Brain, Slice index 74, Axial plane
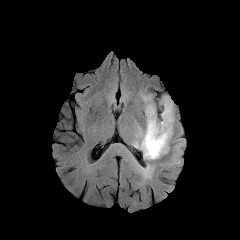
FLAIR MR image.
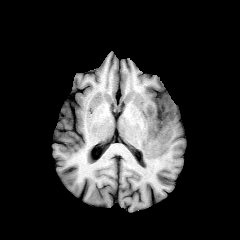
Same slice, T1-weighted MR image.
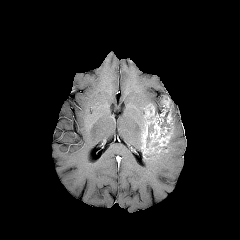
Post-contrast T1-weighted MR.
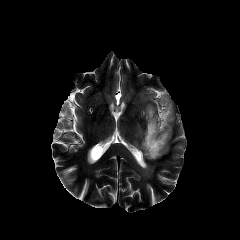
Same slice, T2-weighted MR image.
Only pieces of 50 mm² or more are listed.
The enhancing tumor appears at 141:95:173:153. The largest necrotic tumor core region lies within 161:111:169:127. The 4 largest peritumoral edema regions are located at 132:126:143:150, 170:101:174:140, 141:152:166:177, 141:94:157:114.